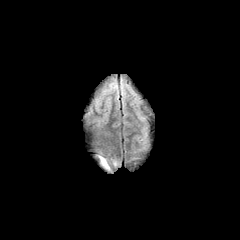
FLAIR magnetic resonance.
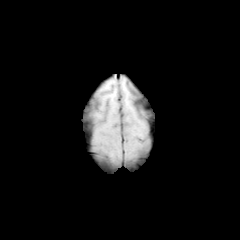
Same slice, T1-weighted MR image.
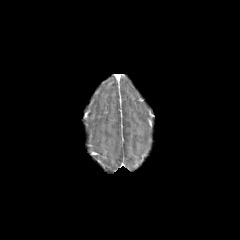
Post-contrast T1-weighted MRI of the same slice.
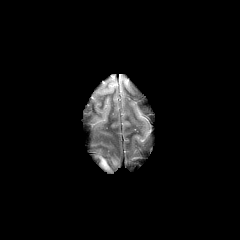
T2-weighted magnetic resonance.
240x240; Head
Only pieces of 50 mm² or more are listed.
The largest peritumoral edema region is at x1=98 y1=155 x2=111 y2=170.